FLAIR magnetic resonance.
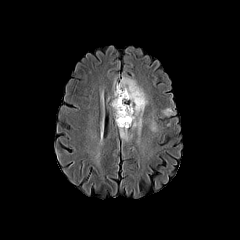
T1-weighted MR.
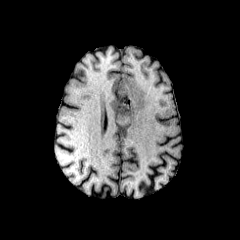
Post-contrast T1-weighted magnetic resonance.
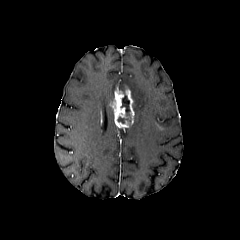
T2-weighted MR image.
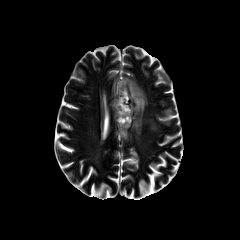
Axial slice
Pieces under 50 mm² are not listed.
<segmentation>
  <enhancing_tumor>110:87:134:128</enhancing_tumor>
  <peritumoral_edema>117:77:147:129, 149:120:161:131, 120:128:131:140, 161:108:175:116</peritumoral_edema>
  <necrotic_tumor_core>121:95:130:115, 118:117:130:123</necrotic_tumor_core>
</segmentation>